Axial plane
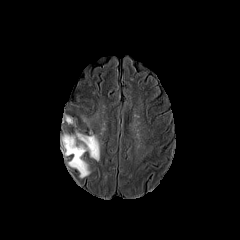
FLAIR magnetic resonance.
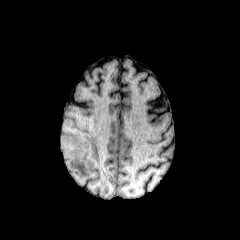
T1-weighted MRI.
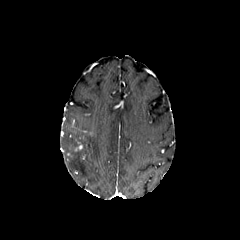
Post-contrast T1-weighted MRI.
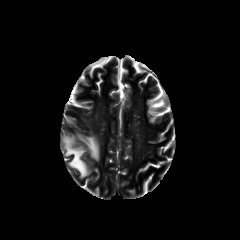
T2-weighted MR image.
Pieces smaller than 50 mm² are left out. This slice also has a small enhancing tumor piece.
<segmentation>
  <peritumoral_edema>[66, 116, 72, 124], [61, 131, 99, 178]</peritumoral_edema>
</segmentation>